Axial plane, Head
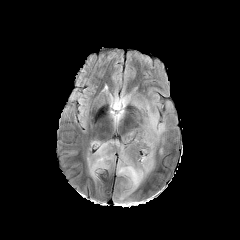
FLAIR MR.
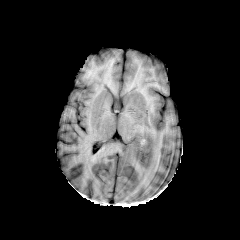
T1-weighted MRI.
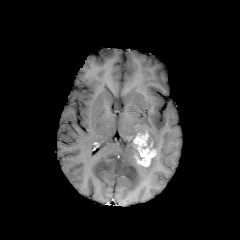
Post-contrast T1-weighted MR.
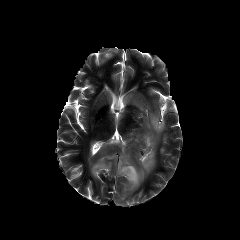
T2-weighted MRI.
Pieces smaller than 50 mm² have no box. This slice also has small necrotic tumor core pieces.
Annotated regions:
• enhancing tumor: bbox=[132, 132, 155, 167]
• peritumoral edema: bbox=[123, 95, 130, 104]; bbox=[87, 140, 154, 192]; bbox=[124, 132, 134, 146]; bbox=[132, 101, 165, 149]